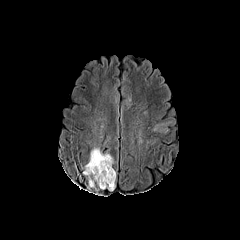
FLAIR MR image.
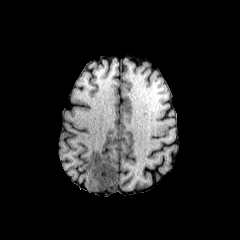
T1-weighted magnetic resonance.
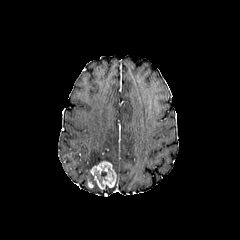
Post-contrast T1-weighted MR image.
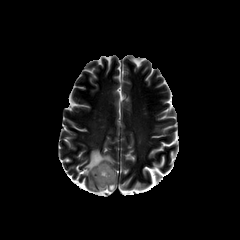
T2-weighted magnetic resonance.
Image size 240x240 | Axial view
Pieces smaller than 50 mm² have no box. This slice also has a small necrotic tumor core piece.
<segmentation>
  <peritumoral_edema>x1=83 y1=148 x2=113 y2=180, x1=153 y1=120 x2=170 y2=133</peritumoral_edema>
  <enhancing_tumor>x1=88 y1=161 x2=116 y2=189</enhancing_tumor>
</segmentation>